Axial view; Image width 240 mm; Slice 61 of 155; Brain
FLAIR MR image.
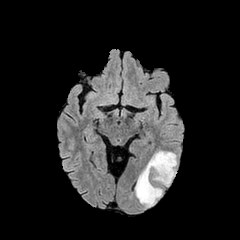
T1-weighted magnetic resonance.
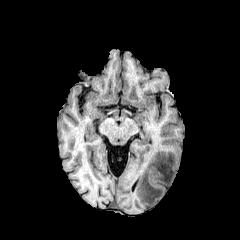
Post-contrast T1-weighted MR.
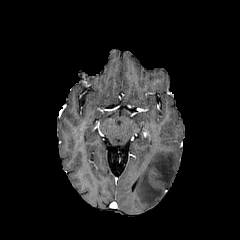
T2-weighted MRI.
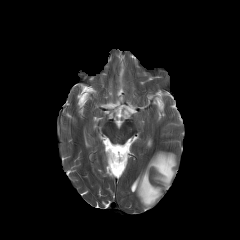
Findings:
- peritumoral edema: {"x1": 135, "y1": 151, "x2": 177, "y2": 207}